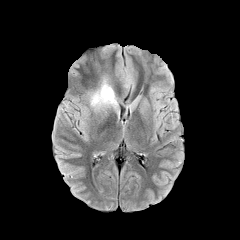
FLAIR magnetic resonance.
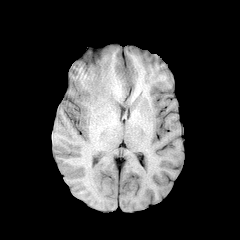
T1-weighted MR.
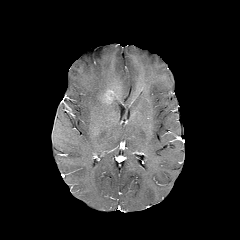
Post-contrast T1-weighted MRI.
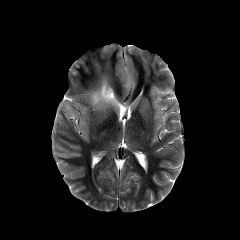
T2-weighted MRI.
Axial slice
Segmented structures:
- peritumoral edema: x1=89 y1=78 x2=117 y2=109
- enhancing tumor: x1=103 y1=90 x2=113 y2=102